Image covers 240 mm x 240 mm. 240x240 px. Axial plane.
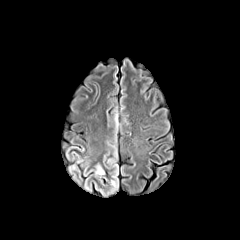
FLAIR MR image.
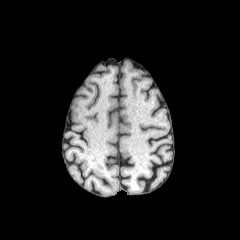
T1-weighted MR image.
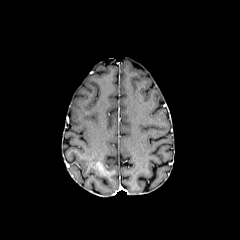
Same slice, post-contrast T1-weighted MRI.
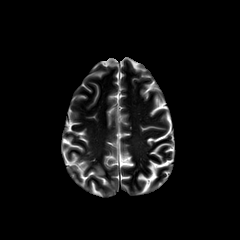
Same slice, T2-weighted MR.
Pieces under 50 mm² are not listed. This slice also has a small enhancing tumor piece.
Annotated regions:
• peritumoral edema: [95,165,104,175]